Slice 100 of 155 | Axial slice | Head | Image width 240 mm
FLAIR MR image.
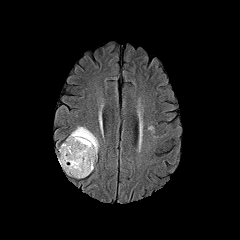
T1-weighted MR.
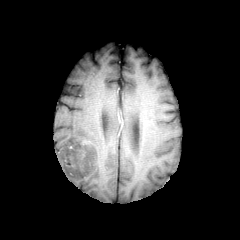
Post-contrast T1-weighted MR image.
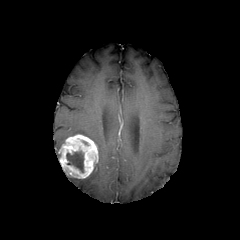
T2-weighted MR.
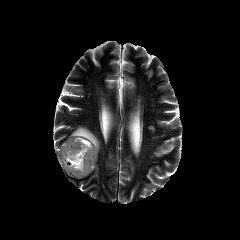
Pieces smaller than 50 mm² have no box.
necrotic_tumor_core:
  - (66,146,83,172)
peritumoral_edema:
  - (70,126,99,151)
enhancing_tumor:
  - (59,134,98,178)